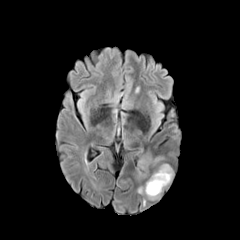
FLAIR magnetic resonance.
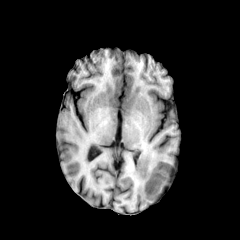
T1-weighted MRI.
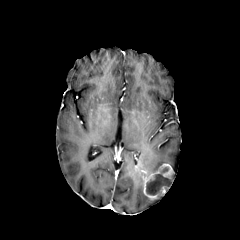
Post-contrast T1-weighted magnetic resonance.
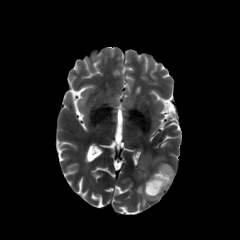
T2-weighted magnetic resonance.
Axial view | Head
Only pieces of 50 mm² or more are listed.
{"enhancing_tumor": ["140:163:174:199"], "necrotic_tumor_core": ["146:174:171:194"], "peritumoral_edema": ["138:154:164:178"]}